FLAIR MR image.
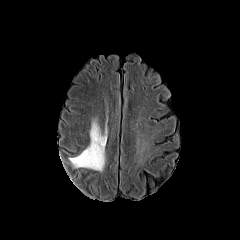
T1-weighted MRI.
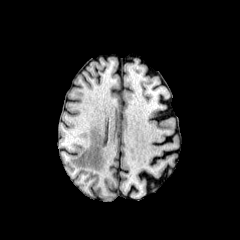
Post-contrast T1-weighted magnetic resonance.
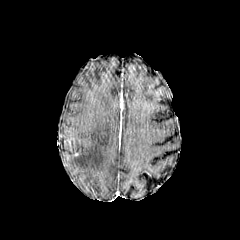
T2-weighted MR image.
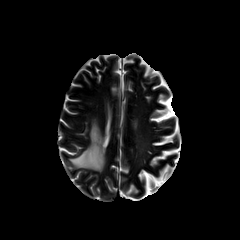
240x240 px
Annotated regions:
- peritumoral edema: (69, 121, 106, 171)